Axial view | Brain | Slice 105/155
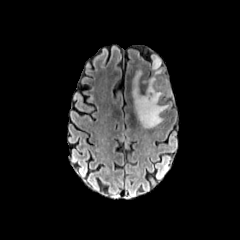
FLAIR MR image.
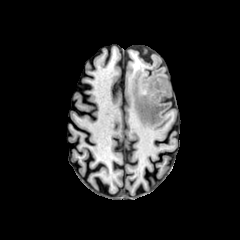
T1-weighted magnetic resonance.
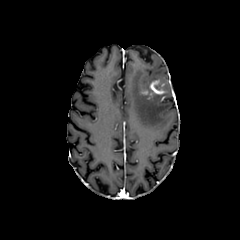
Same slice, post-contrast T1-weighted MRI.
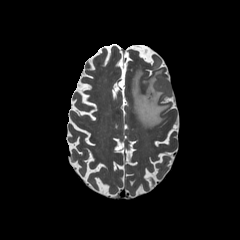
T2-weighted magnetic resonance.
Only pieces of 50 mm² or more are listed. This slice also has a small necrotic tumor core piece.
Annotated regions:
* enhancing tumor: region(149, 79, 167, 95)
* peritumoral edema: region(132, 54, 171, 127)